FLAIR MRI.
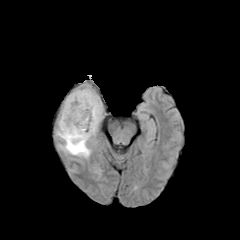
T1-weighted magnetic resonance.
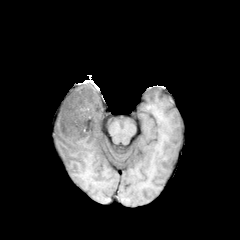
Post-contrast T1-weighted MR.
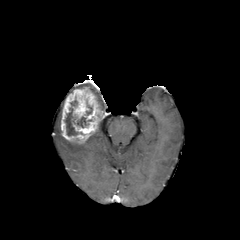
T2-weighted MR image.
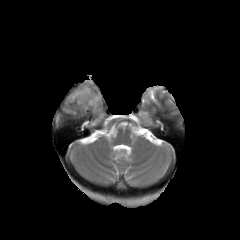
240x240 | Axial slice
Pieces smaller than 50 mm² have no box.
necrotic_tumor_core:
  - <bbox>65, 108, 86, 135</bbox>
enhancing_tumor:
  - <bbox>61, 87, 104, 143</bbox>
peritumoral_edema:
  - <bbox>65, 130, 97, 157</bbox>
  - <bbox>90, 87, 102, 110</bbox>